FLAIR magnetic resonance.
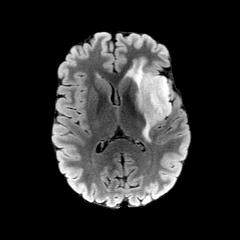
T1-weighted MR image.
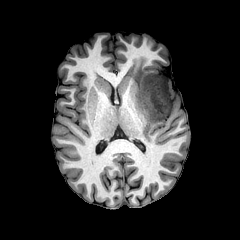
Post-contrast T1-weighted MR image.
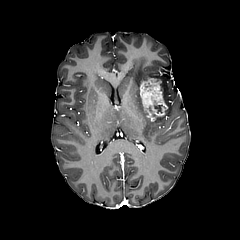
T2-weighted MR.
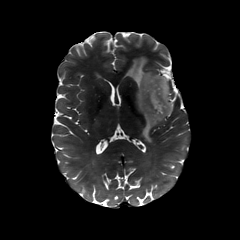
Axial slice.
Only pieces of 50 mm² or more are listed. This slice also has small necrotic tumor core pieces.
The enhancing tumor is located at bbox=[139, 77, 167, 121]. The peritumoral edema is located at bbox=[126, 59, 171, 141].